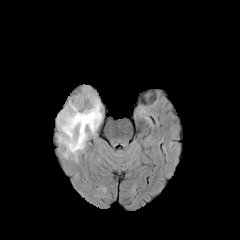
FLAIR MR.
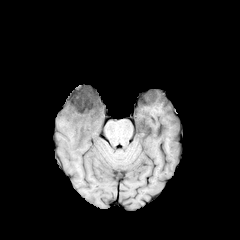
T1-weighted MR.
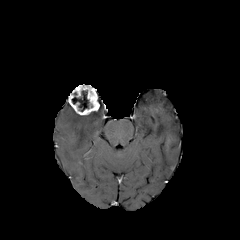
Same slice, post-contrast T1-weighted MR.
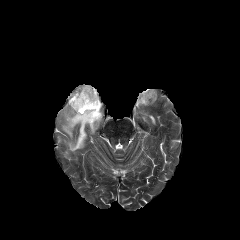
T2-weighted MR image of the same slice.
Axial slice, Head
The enhancing tumor appears at bbox(68, 84, 99, 115). The necrotic tumor core is located at bbox(72, 91, 88, 111). The peritumoral edema is bounded by bbox(57, 99, 102, 160).